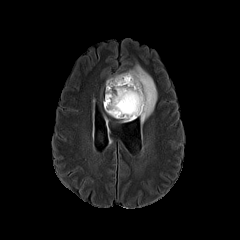
FLAIR magnetic resonance.
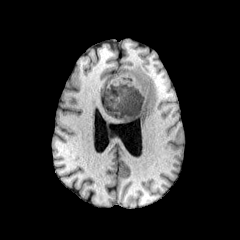
T1-weighted MR image.
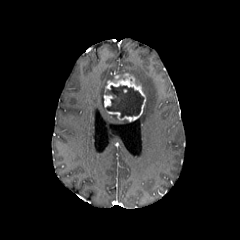
Same slice, post-contrast T1-weighted magnetic resonance.
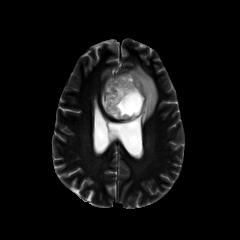
T2-weighted magnetic resonance of the same slice.
240x240
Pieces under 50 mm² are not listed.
necrotic tumor core: bounding box 106, 85, 143, 118
peritumoral edema: bounding box 126, 64, 157, 124
enhancing tumor: bounding box 106, 73, 146, 121; 104, 95, 112, 107